FLAIR MRI.
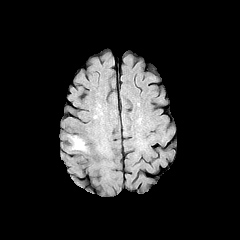
T1-weighted MR.
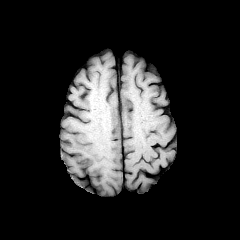
Post-contrast T1-weighted MR.
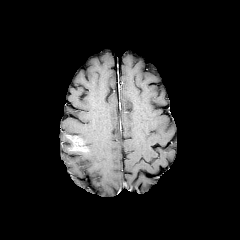
T2-weighted MR image.
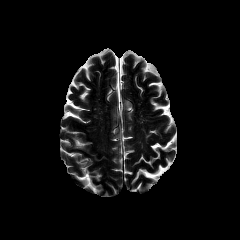
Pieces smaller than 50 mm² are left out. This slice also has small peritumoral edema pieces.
<segmentation>
  <enhancing_tumor>73 136 87 151</enhancing_tumor>
</segmentation>